Image size 240x240; Image covers 240 mm x 240 mm; Axial plane
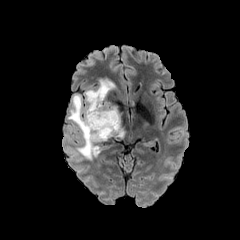
FLAIR MR image.
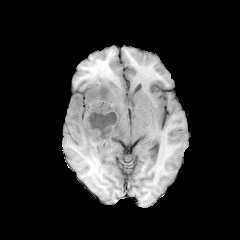
Same slice, T1-weighted MRI.
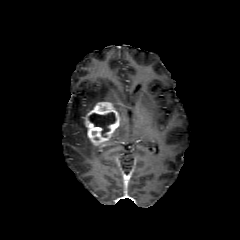
Post-contrast T1-weighted MR of the same slice.
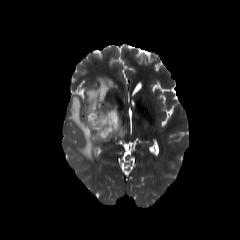
T2-weighted MR of the same slice.
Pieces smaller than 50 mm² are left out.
enhancing tumor: (84,102,120,146) | necrotic tumor core: (89,112,115,136) | peritumoral edema: (114,119,124,137), (67,78,114,160)